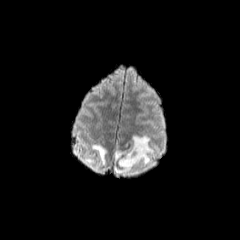
FLAIR MR.
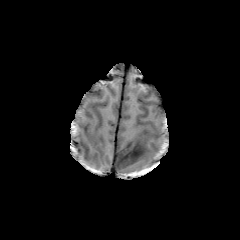
T1-weighted MRI.
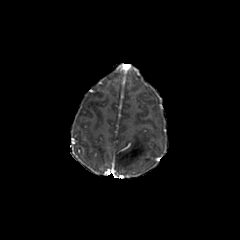
Post-contrast T1-weighted MRI.
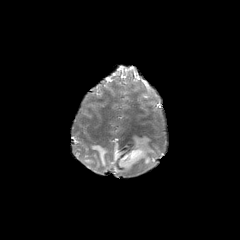
T2-weighted magnetic resonance.
Axial view; 240x240 px
{
  "peritumoral_edema": [
    "l=81, t=156, r=95, b=164",
    "l=115, t=135, r=153, b=175",
    "l=91, t=144, r=106, b=164"
  ]
}